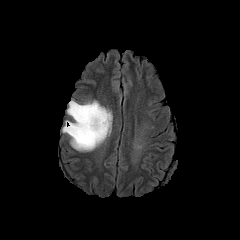
FLAIR MR.
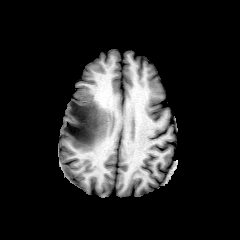
T1-weighted MR.
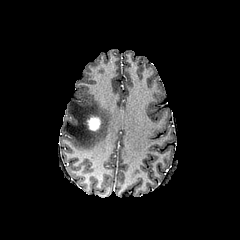
Post-contrast T1-weighted MR of the same slice.
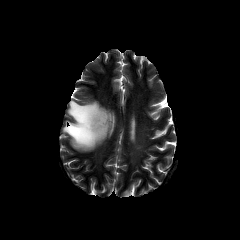
T2-weighted MR.
240x240. Axial plane. Brain.
<segmentation>
  <peritumoral_edema>(62, 101, 112, 151)</peritumoral_edema>
  <enhancing_tumor>(86, 116, 100, 130)</enhancing_tumor>
</segmentation>